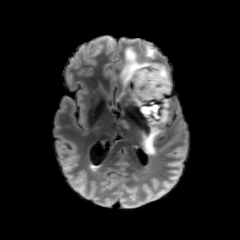
FLAIR MR image.
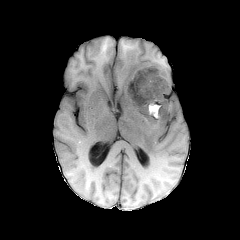
Same slice, T1-weighted MR.
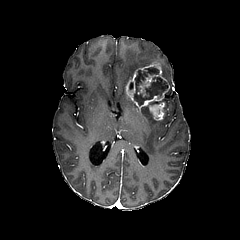
Post-contrast T1-weighted MRI of the same slice.
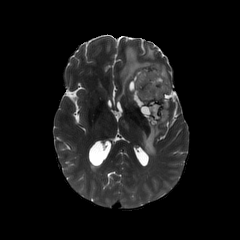
T2-weighted MR image.
Axial slice.
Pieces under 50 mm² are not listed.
<segmentation>
  <enhancing_tumor>region(125, 63, 169, 122)</enhancing_tumor>
  <necrotic_tumor_core>region(134, 66, 167, 105); region(141, 107, 154, 123)</necrotic_tumor_core>
  <peritumoral_edema>region(120, 44, 170, 87); region(142, 98, 169, 155)</peritumoral_edema>
</segmentation>